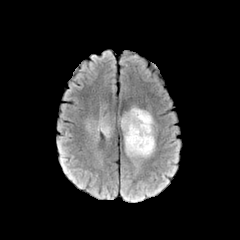
FLAIR magnetic resonance.
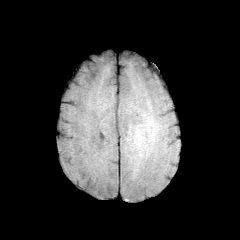
T1-weighted MR.
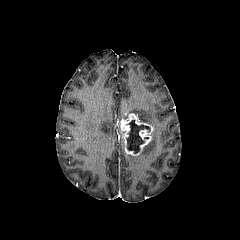
Same slice, post-contrast T1-weighted MR.
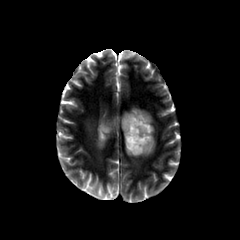
Same slice, T2-weighted MR.
240x240. Brain. Axial slice.
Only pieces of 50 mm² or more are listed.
peritumoral edema — region(98, 120, 112, 136); region(128, 130, 155, 156); region(125, 107, 153, 125)
necrotic tumor core — region(126, 120, 150, 153)
enhancing tumor — region(120, 113, 153, 155)